Brain. Axial plane.
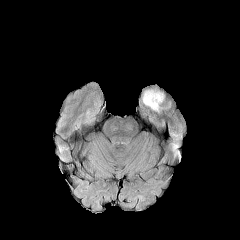
FLAIR MR image.
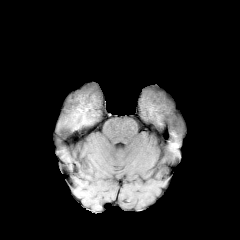
T1-weighted magnetic resonance.
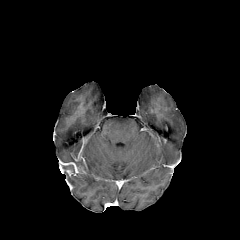
Post-contrast T1-weighted magnetic resonance.
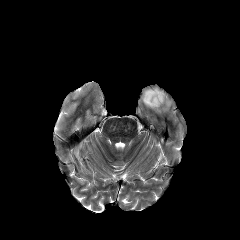
T2-weighted magnetic resonance of the same slice.
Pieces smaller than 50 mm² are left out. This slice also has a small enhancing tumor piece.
The peritumoral edema is at [142, 90, 164, 111].